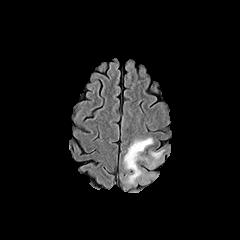
FLAIR MR.
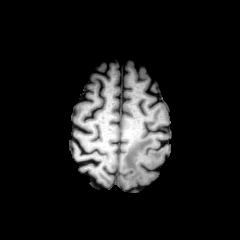
T1-weighted magnetic resonance.
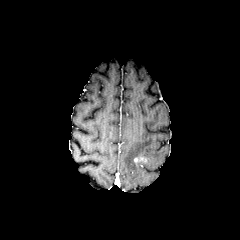
Post-contrast T1-weighted MRI.
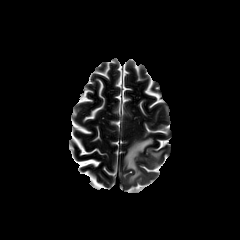
T2-weighted MR of the same slice.
Axial plane, 240x240 px
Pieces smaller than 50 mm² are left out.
enhancing tumor: bounding box bbox=[134, 156, 146, 162]
peritumoral edema: bounding box bbox=[124, 138, 153, 184]; bbox=[148, 149, 165, 166]